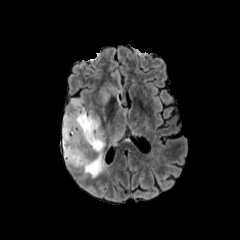
FLAIR MR.
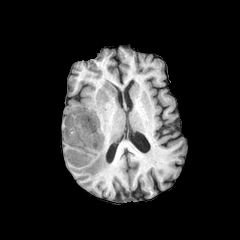
Same slice, T1-weighted magnetic resonance.
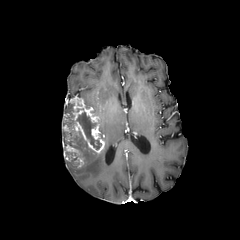
Same slice, post-contrast T1-weighted magnetic resonance.
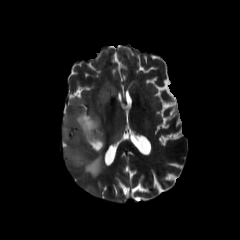
T2-weighted MR image of the same slice.
Brain
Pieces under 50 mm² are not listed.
The 3 largest peritumoral edema regions appear at 108 121 125 148, 99 80 117 105, 81 148 107 177. The largest enhancing tumor region lies within 62 98 104 167. The 2 largest necrotic tumor core regions appear at 76 112 101 149, 64 131 86 149.